Image width 240 mm. Axial view. Brain. 240x240 px. Slice 72 of 155.
FLAIR magnetic resonance.
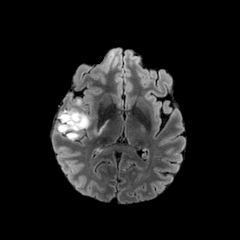
T1-weighted MR.
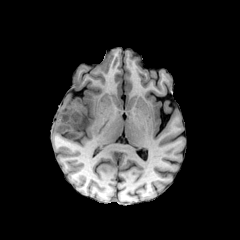
Post-contrast T1-weighted MRI.
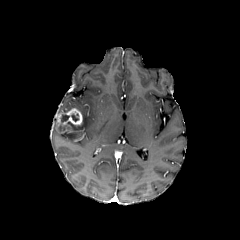
T2-weighted MR image.
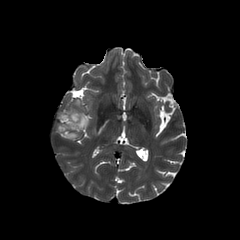
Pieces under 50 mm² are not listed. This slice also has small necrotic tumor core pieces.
The enhancing tumor is at 58:108:82:132. The largest peritumoral edema region appears at 66:114:89:139.